FLAIR MR.
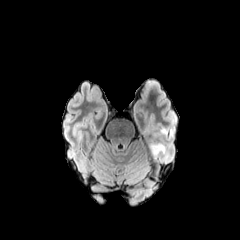
T1-weighted MR.
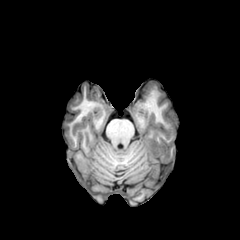
Post-contrast T1-weighted MR.
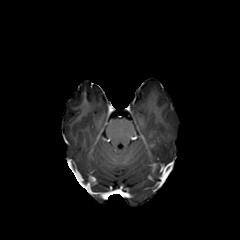
T2-weighted MR image.
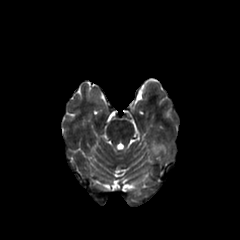
Brain | Image size 240x240
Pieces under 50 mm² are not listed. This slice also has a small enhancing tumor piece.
The peritumoral edema lies within box=[148, 141, 166, 155].